Axial plane
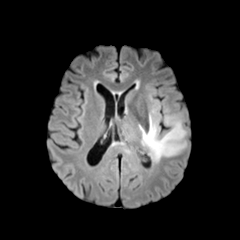
FLAIR MR image.
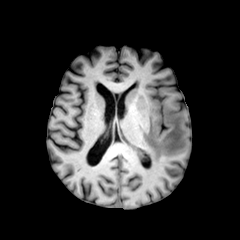
T1-weighted MR image.
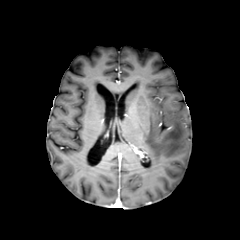
Post-contrast T1-weighted magnetic resonance of the same slice.
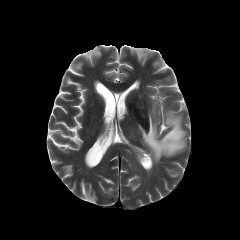
T2-weighted magnetic resonance of the same slice.
Annotated regions:
• peritumoral edema: 139:109:186:162